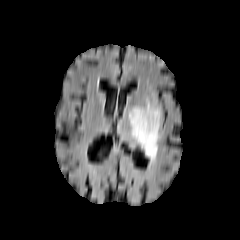
FLAIR MR image.
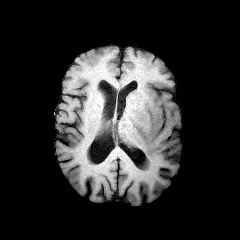
T1-weighted magnetic resonance of the same slice.
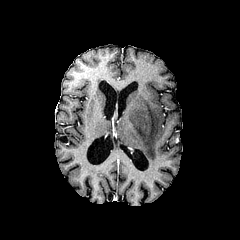
Post-contrast T1-weighted MRI.
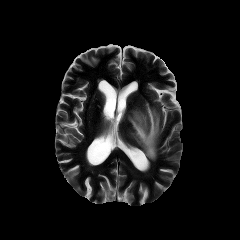
T2-weighted magnetic resonance.
Axial plane
The peritumoral edema is located at [128, 102, 160, 161].